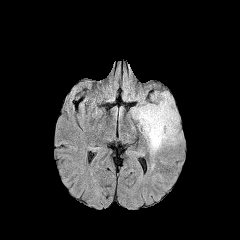
FLAIR magnetic resonance.
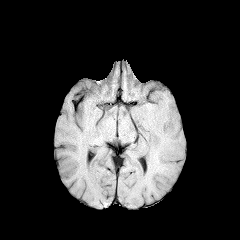
T1-weighted magnetic resonance.
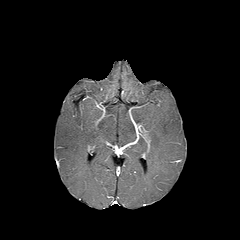
Same slice, post-contrast T1-weighted MR image.
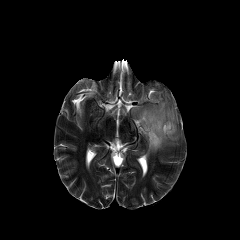
T2-weighted magnetic resonance.
Image size 240x240
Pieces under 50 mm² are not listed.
The largest peritumoral edema region is located at (x1=132, y1=93, x2=181, y2=153).